Axial slice; Slice 86 of 155
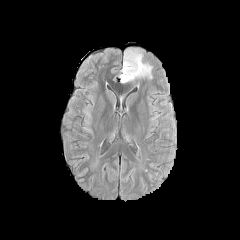
FLAIR magnetic resonance.
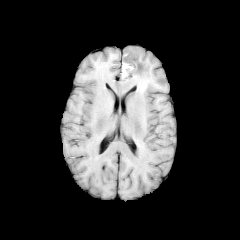
T1-weighted MR.
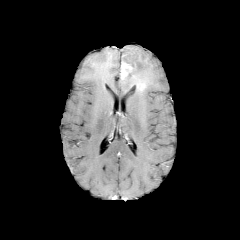
Post-contrast T1-weighted MRI of the same slice.
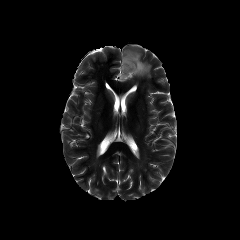
T2-weighted magnetic resonance.
The enhancing tumor is located at l=120, t=62, r=132, b=79. The peritumoral edema is located at l=121, t=48, r=152, b=82. The necrotic tumor core is bounded by l=122, t=53, r=137, b=80.